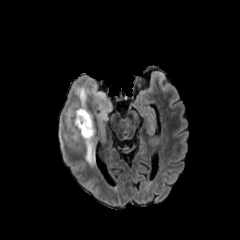
FLAIR MRI.
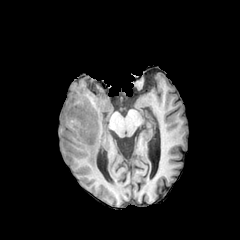
Same slice, T1-weighted MR image.
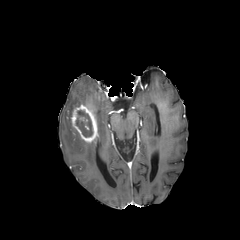
Same slice, post-contrast T1-weighted magnetic resonance.
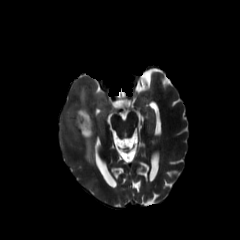
T2-weighted MR.
240x240 px
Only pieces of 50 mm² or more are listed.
peritumoral edema: bounding box bbox=[60, 86, 115, 167]
enhancing tumor: bounding box bbox=[70, 100, 97, 143]
necrotic tumor core: bounding box bbox=[76, 110, 92, 136]